Image width 240 mm | Image size 240x240 | Axial slice
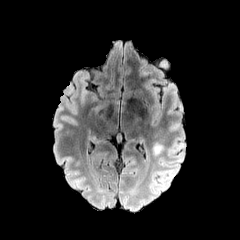
FLAIR MR.
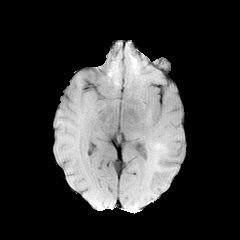
T1-weighted MR image.
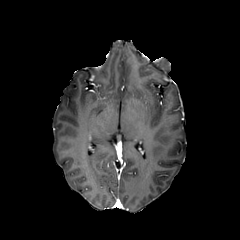
Post-contrast T1-weighted MR image.
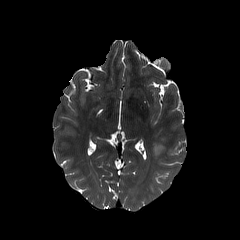
T2-weighted magnetic resonance of the same slice.
The peritumoral edema lies within [x1=153, y1=144, x2=163, y2=156].